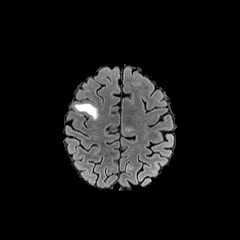
FLAIR MR image.
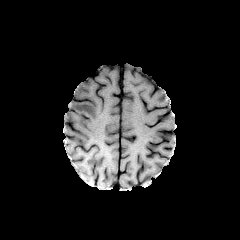
T1-weighted MR image of the same slice.
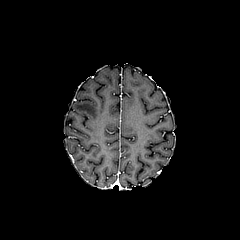
Post-contrast T1-weighted MR.
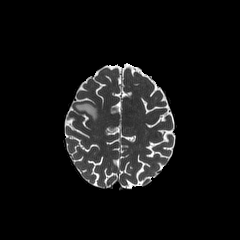
T2-weighted MR image.
Image size 240x240; Axial plane; Brain
peritumoral edema — [75,103,97,119]